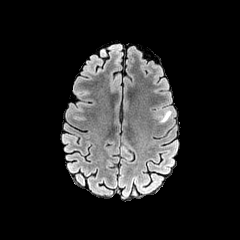
FLAIR MR image.
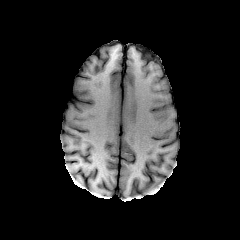
T1-weighted MR.
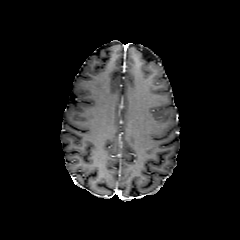
Post-contrast T1-weighted MR.
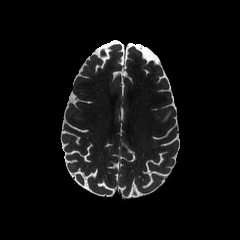
T2-weighted MR.
Axial plane
<segmentation>
  <peritumoral_edema>region(160, 110, 171, 122)</peritumoral_edema>
</segmentation>